Axial slice, Image size 240x240, Brain, Slice 30 of 155
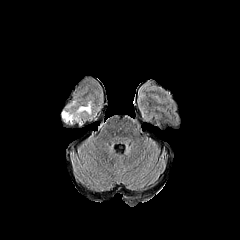
FLAIR magnetic resonance.
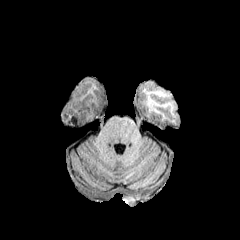
Same slice, T1-weighted MR image.
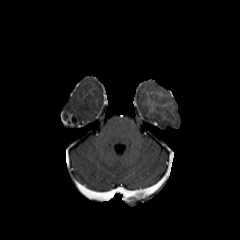
Post-contrast T1-weighted MR of the same slice.
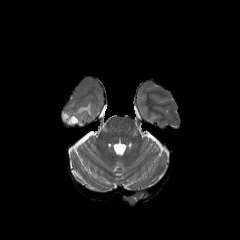
Same slice, T2-weighted MR.
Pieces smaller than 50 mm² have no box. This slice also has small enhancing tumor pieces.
peritumoral_edema:
  - (63,101,94,124)
necrotic_tumor_core:
  - (62,112,70,123)